FLAIR MR image.
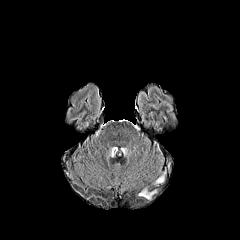
T1-weighted magnetic resonance.
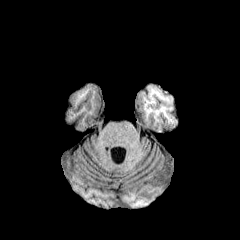
Post-contrast T1-weighted magnetic resonance.
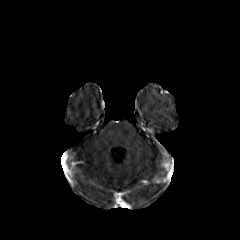
T2-weighted magnetic resonance.
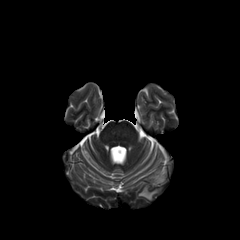
The enhancing tumor is bounded by l=153, t=161, r=171, b=183. The peritumoral edema lies within l=138, t=188, r=156, b=199.